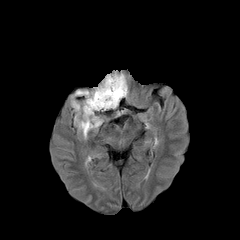
FLAIR MR image.
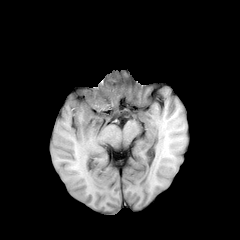
T1-weighted MR image.
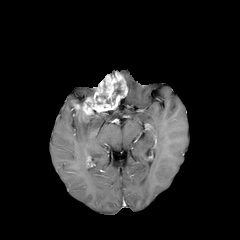
Post-contrast T1-weighted magnetic resonance.
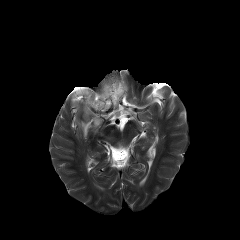
T2-weighted magnetic resonance.
Axial plane | Brain | 240x240
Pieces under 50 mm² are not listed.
{"peritumoral_edema": ["box(72, 90, 94, 98)", "box(74, 115, 102, 138)"], "necrotic_tumor_core": ["box(95, 86, 107, 105)", "box(106, 81, 123, 103)"], "enhancing_tumor": ["box(71, 72, 127, 121)"]}